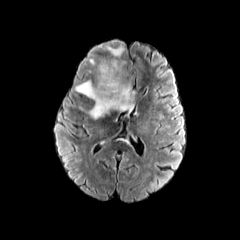
FLAIR MRI.
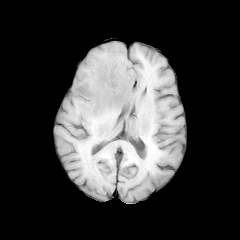
Same slice, T1-weighted MR.
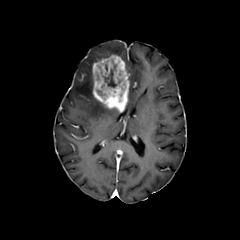
Post-contrast T1-weighted MR image.
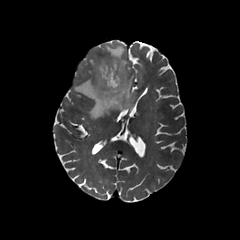
Same slice, T2-weighted MRI.
Head. Axial view.
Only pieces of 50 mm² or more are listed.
<segmentation>
  <peritumoral_edema>104:44:123:57, 124:79:136:112, 74:78:115:118</peritumoral_edema>
  <enhancing_tumor>92:54:129:111</enhancing_tumor>
  <necrotic_tumor_core>98:60:119:88, 116:84:125:103, 96:90:108:101</necrotic_tumor_core>
</segmentation>